FLAIR magnetic resonance.
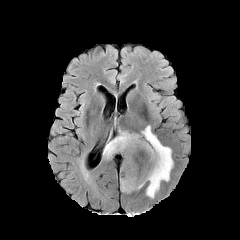
T1-weighted magnetic resonance.
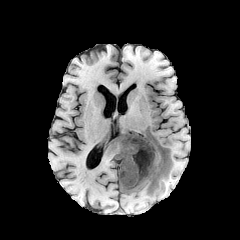
Post-contrast T1-weighted MR.
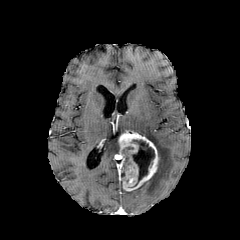
T2-weighted MRI.
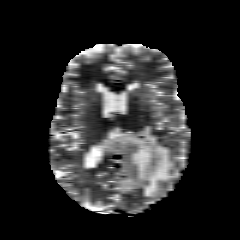
Axial plane
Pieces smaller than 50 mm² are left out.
enhancing tumor at 118:131:158:191
peritumoral edema at 140:125:173:198, 103:136:119:157
necrotic tumor core at 132:140:154:182